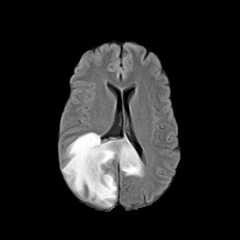
FLAIR MRI.
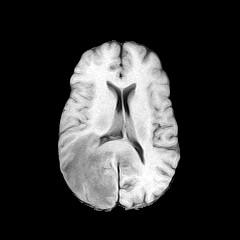
T1-weighted MRI.
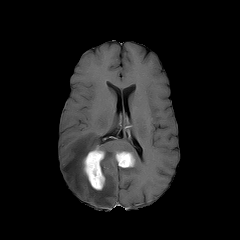
Post-contrast T1-weighted magnetic resonance.
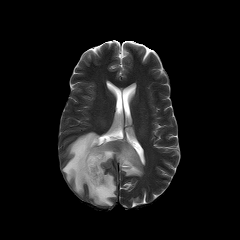
T2-weighted magnetic resonance of the same slice.
Head
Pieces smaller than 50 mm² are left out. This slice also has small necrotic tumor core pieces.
Segmented structures:
- enhancing tumor: {"x1": 82, "y1": 145, "x2": 105, "y2": 190}, {"x1": 115, "y1": 151, "x2": 135, "y2": 167}
- peritumoral edema: {"x1": 62, "y1": 132, "x2": 142, "y2": 206}